Brain. Slice 89 of 155. 240x240. Axial slice.
FLAIR MR.
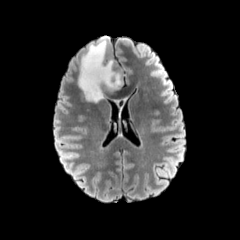
T1-weighted magnetic resonance.
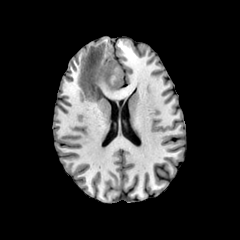
Post-contrast T1-weighted MR image.
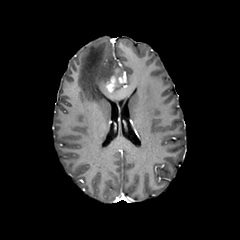
T2-weighted MR image.
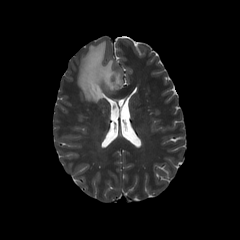
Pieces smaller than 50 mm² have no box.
enhancing_tumor:
  - box=[105, 76, 126, 92]
peritumoral_edema:
  - box=[78, 37, 123, 102]